Slice 40 of 155 | Image size 240x240 | Brain | Image width 240 mm | Axial slice
FLAIR magnetic resonance.
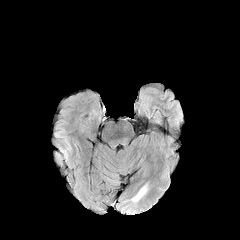
T1-weighted MRI.
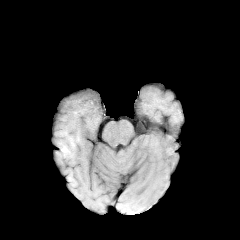
Post-contrast T1-weighted magnetic resonance.
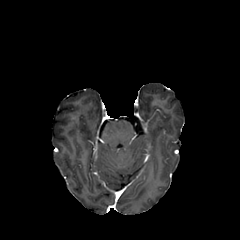
T2-weighted magnetic resonance.
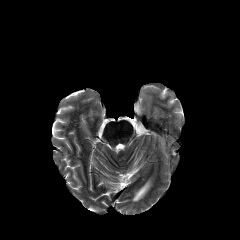
peritumoral edema: bounding box box(132, 185, 147, 201)